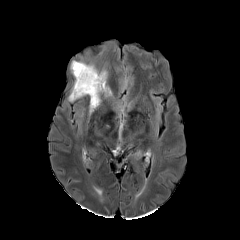
FLAIR MR.
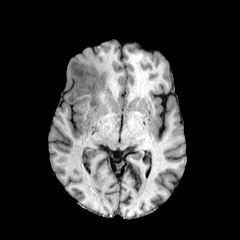
T1-weighted magnetic resonance of the same slice.
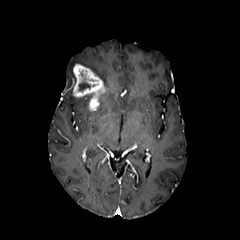
Post-contrast T1-weighted MRI.
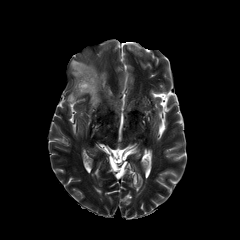
T2-weighted MR.
240x240 px
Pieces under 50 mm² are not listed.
peritumoral edema: region(71, 60, 111, 96); region(68, 89, 77, 101) | necrotic tumor core: region(79, 82, 89, 90) | enhancing tumor: region(72, 64, 107, 111)